Slice index 51, Axial plane
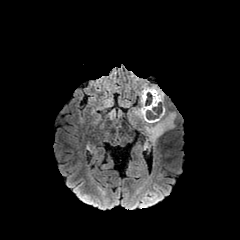
FLAIR MR image.
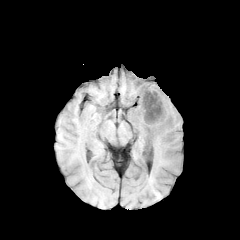
Same slice, T1-weighted MR.
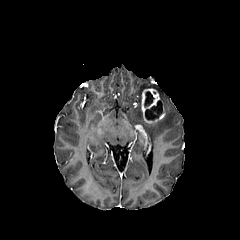
Post-contrast T1-weighted MR image of the same slice.
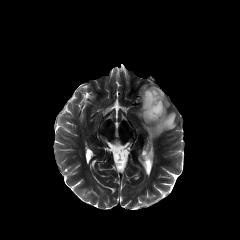
T2-weighted MRI.
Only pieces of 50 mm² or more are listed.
peritumoral edema: bounding box region(139, 84, 164, 103); region(133, 108, 175, 142)
necrotic tumor core: bounding box region(144, 91, 152, 106); region(145, 101, 162, 120)
enhancing tumor: bounding box region(141, 88, 165, 123)